FLAIR MR image.
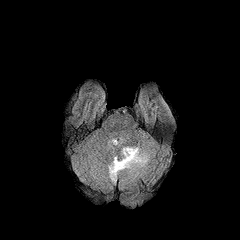
T1-weighted MR.
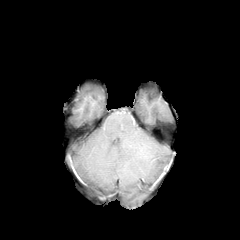
Post-contrast T1-weighted MR.
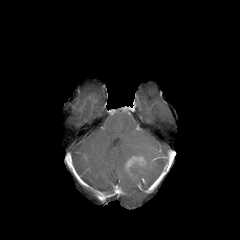
T2-weighted MRI.
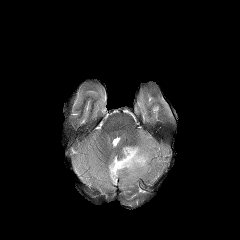
Head
enhancing tumor = <bbox>126, 156, 145, 169</bbox>
peritumoral edema = <bbox>108, 146, 149, 182</bbox>